Head | Slice 91 of 155
FLAIR MRI.
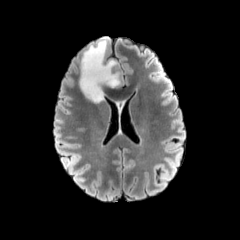
T1-weighted magnetic resonance.
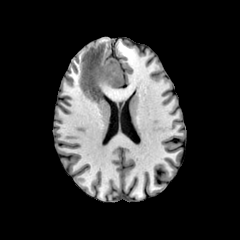
Post-contrast T1-weighted MR image.
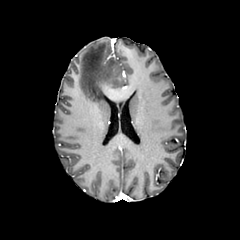
T2-weighted magnetic resonance.
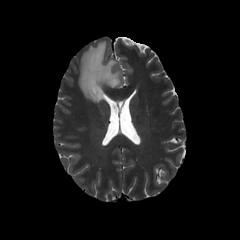
The peritumoral edema appears at <box>79,38,122,102</box>.